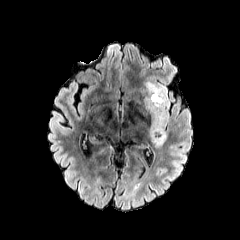
FLAIR MRI.
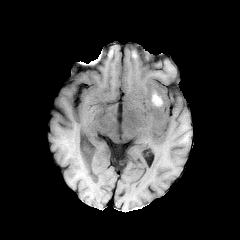
Same slice, T1-weighted MR image.
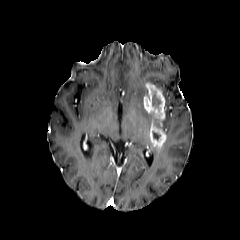
Same slice, post-contrast T1-weighted magnetic resonance.
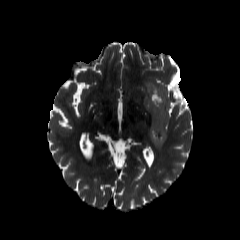
Same slice, T2-weighted magnetic resonance.
Brain. 240x240. Axial plane.
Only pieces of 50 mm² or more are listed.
The largest necrotic tumor core region is bounded by l=152, t=92, r=161, b=106. The enhancing tumor lies within l=143, t=82, r=167, b=147. The largest peritumoral edema region lies within l=152, t=83, r=169, b=111.